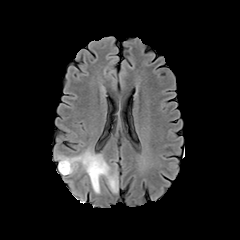
FLAIR MRI.
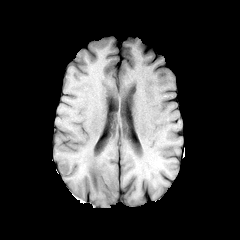
T1-weighted MR image of the same slice.
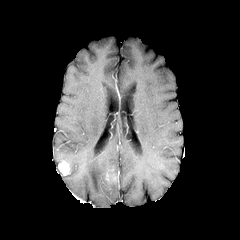
Post-contrast T1-weighted MRI.
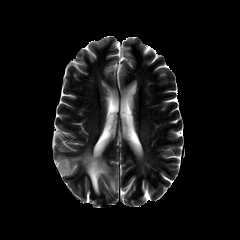
T2-weighted MR.
Axial slice
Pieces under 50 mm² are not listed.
enhancing tumor at 58 160 69 175
peritumoral edema at 57 150 117 193